FLAIR MR image.
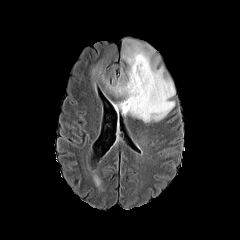
T1-weighted MR image.
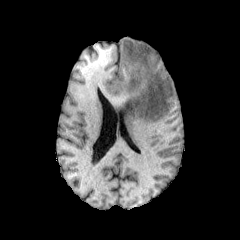
Post-contrast T1-weighted MRI.
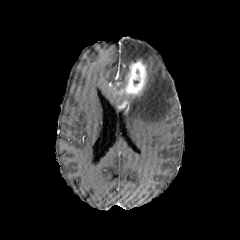
T2-weighted magnetic resonance.
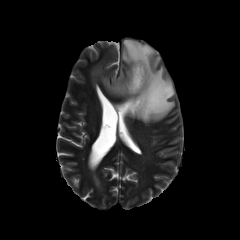
Brain | Axial slice
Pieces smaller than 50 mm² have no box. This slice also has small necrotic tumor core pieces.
Segmented structures:
- enhancing tumor: x1=111, y1=59, x2=147, y2=96; x1=118, y1=101, x2=129, y2=113
- peritumoral edema: x1=116, y1=67, x2=126, y2=90; x1=90, y1=62, x2=119, y2=97; x1=122, y1=38, x2=175, y2=122